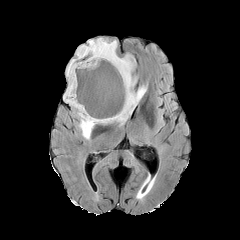
FLAIR MR.
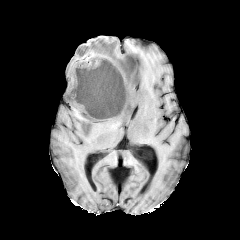
Same slice, T1-weighted MR.
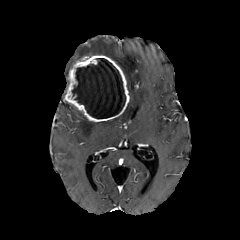
Post-contrast T1-weighted magnetic resonance.
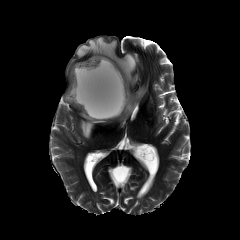
T2-weighted MRI.
Brain.
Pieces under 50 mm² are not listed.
The enhancing tumor is at l=63, t=55, r=129, b=122. The necrotic tumor core appears at l=72, t=58, r=125, b=118. The largest peritumoral edema region lies within l=66, t=37, r=146, b=139.